FLAIR MR.
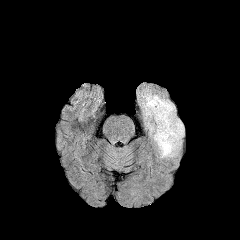
T1-weighted MRI.
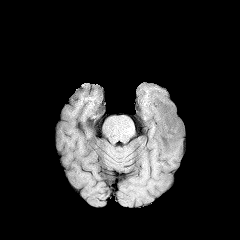
Post-contrast T1-weighted magnetic resonance.
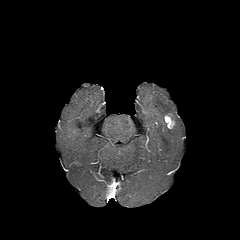
T2-weighted MR.
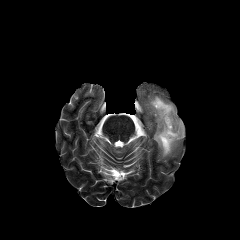
Axial plane. Head.
The peritumoral edema appears at 142 92 184 158. The enhancing tumor appears at 164 113 175 128.